Head; Axial view
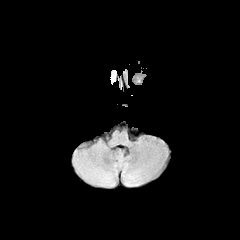
FLAIR MR.
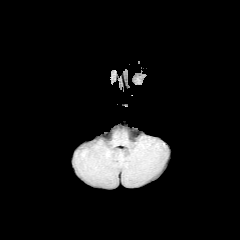
Same slice, T1-weighted MR image.
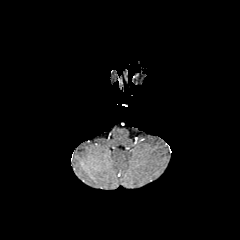
Post-contrast T1-weighted magnetic resonance.
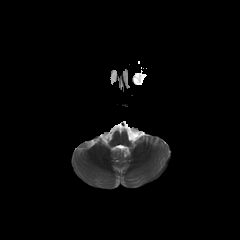
Same slice, T2-weighted MR.
Findings:
* peritumoral edema: <box>110,70,116,84</box>